Image width 240 mm. 240x240 px.
FLAIR MR image.
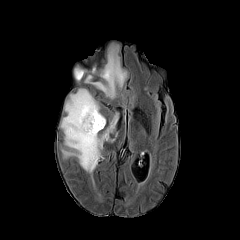
T1-weighted MRI.
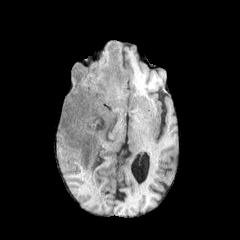
Post-contrast T1-weighted MR image.
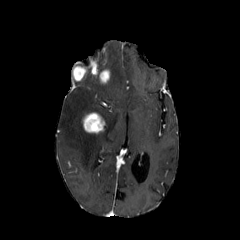
T2-weighted MR.
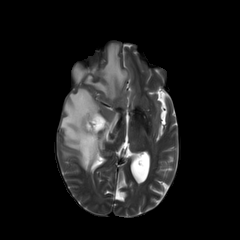
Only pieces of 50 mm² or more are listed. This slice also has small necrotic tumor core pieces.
enhancing tumor: 82,112,105,133; 72,65,87,81; 90,61,110,83 | peritumoral edema: 84,44,127,99; 60,88,118,172